Image width 240 mm | Slice 102 of 155 | Axial view | Brain
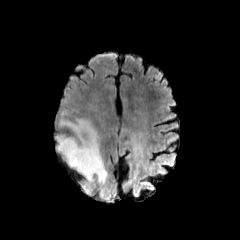
FLAIR magnetic resonance.
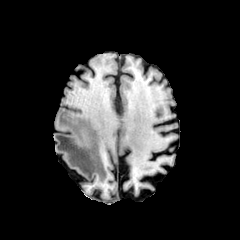
T1-weighted MRI.
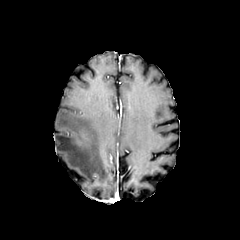
Same slice, post-contrast T1-weighted MRI.
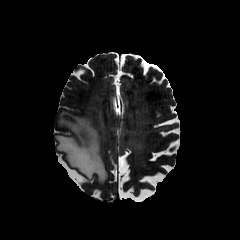
T2-weighted MR image.
peritumoral edema: bounding box region(55, 110, 107, 197)